Image width 240 mm; Brain; Slice index 66; Axial slice; 240x240
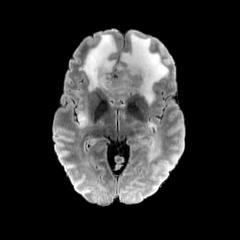
FLAIR MR image.
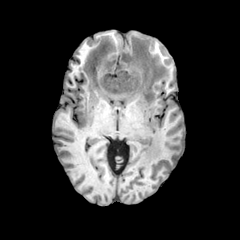
T1-weighted MRI of the same slice.
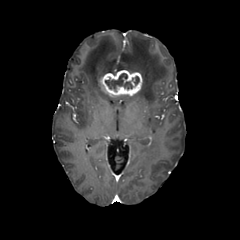
Post-contrast T1-weighted MR of the same slice.
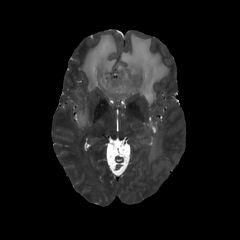
T2-weighted MR image of the same slice.
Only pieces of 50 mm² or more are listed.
The enhancing tumor is at rect(99, 70, 142, 96). The largest necrotic tumor core region is located at rect(105, 73, 132, 88). The 4 largest peritumoral edema regions are located at rect(76, 111, 87, 126); rect(80, 34, 116, 91); rect(117, 33, 168, 104); rect(131, 122, 162, 163).